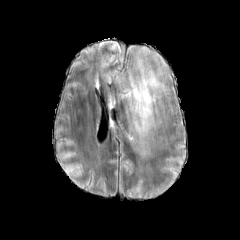
FLAIR magnetic resonance.
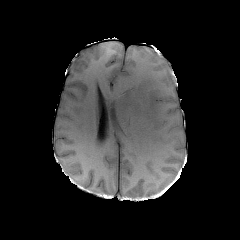
T1-weighted magnetic resonance.
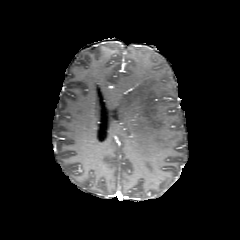
Post-contrast T1-weighted magnetic resonance.
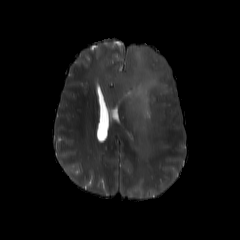
T2-weighted MR.
Brain.
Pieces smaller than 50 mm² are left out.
<segmentation>
  <peritumoral_edema>box=[116, 63, 168, 138]</peritumoral_edema>
</segmentation>